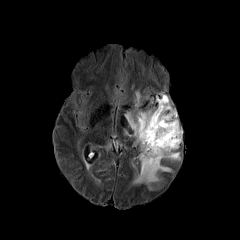
FLAIR MR image.
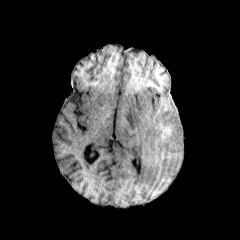
T1-weighted MR image.
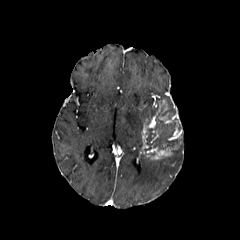
Post-contrast T1-weighted MR.
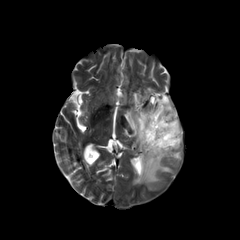
T2-weighted MR image.
Brain
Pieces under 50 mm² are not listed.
necrotic tumor core: region(144, 102, 180, 151)
peritumoral edema: region(162, 152, 180, 159); region(139, 153, 171, 184); region(125, 91, 157, 147); region(156, 93, 169, 103)
enhancing tumor: region(158, 111, 182, 140); region(141, 100, 178, 159)